FLAIR MR.
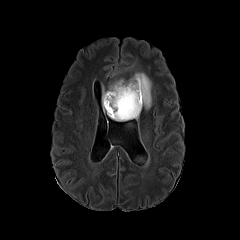
T1-weighted MR.
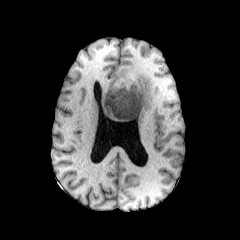
Post-contrast T1-weighted magnetic resonance.
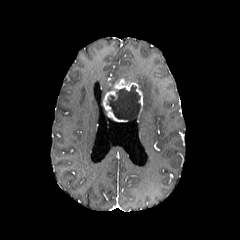
T2-weighted MR image.
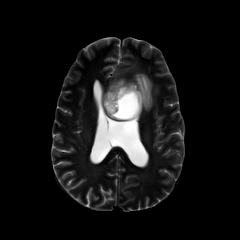
Head.
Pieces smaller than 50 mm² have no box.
necrotic_tumor_core:
  - (left=106, top=85, right=140, bottom=121)
enhancing_tumor:
  - (left=103, top=79, right=143, bottom=122)
peritumoral_edema:
  - (left=129, top=73, right=152, bottom=109)